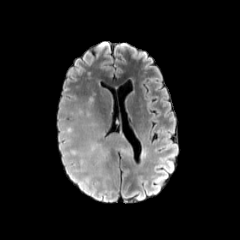
FLAIR MRI.
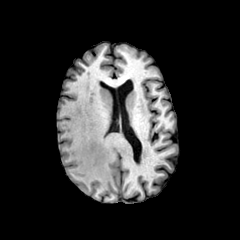
T1-weighted MRI.
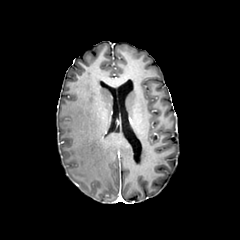
Post-contrast T1-weighted MRI.
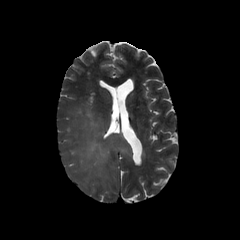
T2-weighted MR image of the same slice.
Head
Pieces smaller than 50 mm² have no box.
peritumoral edema: [112,147,129,156], [71,122,109,183]